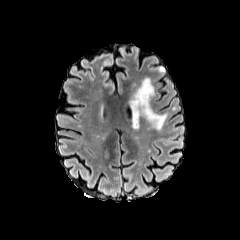
FLAIR MR.
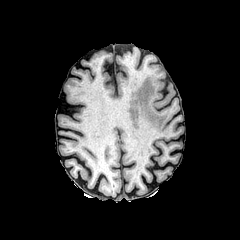
T1-weighted magnetic resonance.
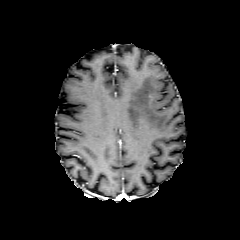
Same slice, post-contrast T1-weighted magnetic resonance.
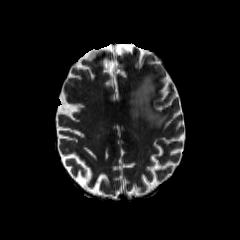
Same slice, T2-weighted MR.
Head
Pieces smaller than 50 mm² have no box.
Annotated regions:
* peritumoral edema: l=130, t=78, r=167, b=130